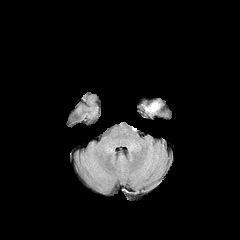
FLAIR MRI.
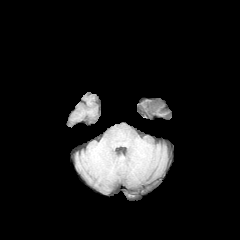
T1-weighted MR image.
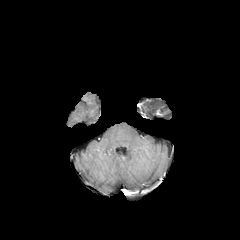
Post-contrast T1-weighted MRI.
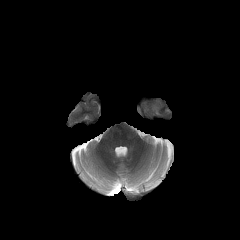
T2-weighted magnetic resonance of the same slice.
peritumoral edema: box=[145, 102, 160, 113]